Brain | Slice 33/155 | Image size 240x240
FLAIR MR image.
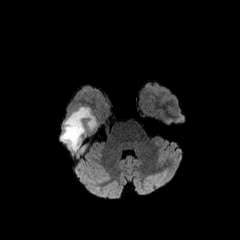
T1-weighted magnetic resonance.
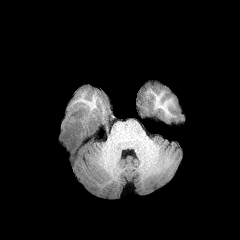
Post-contrast T1-weighted MR image.
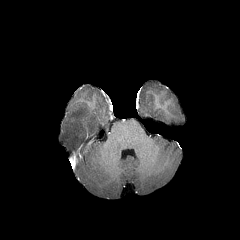
T2-weighted MRI.
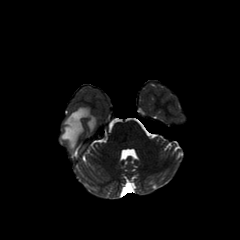
The peritumoral edema lies within <bbox>61, 107, 95, 148</bbox>.